Image size 240x240; Head; Slice 98 of 155; Image width 240 mm
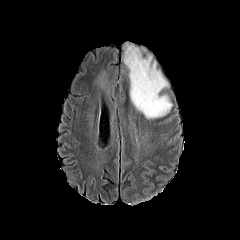
FLAIR magnetic resonance.
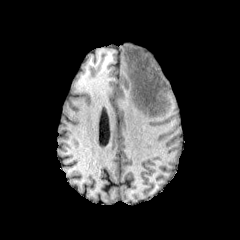
Same slice, T1-weighted MRI.
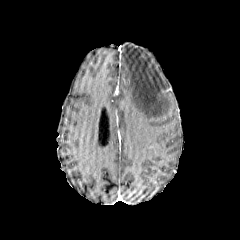
Post-contrast T1-weighted MR of the same slice.
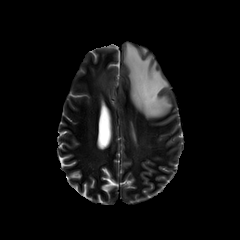
T2-weighted MRI.
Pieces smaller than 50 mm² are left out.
The 2 largest peritumoral edema regions are located at (95, 68, 108, 89), (123, 41, 172, 118).